240x240 px, Axial slice, Image width 240 mm, Head
FLAIR MR image.
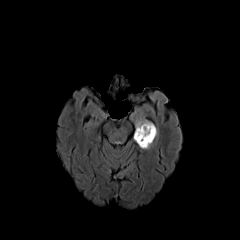
T1-weighted MR.
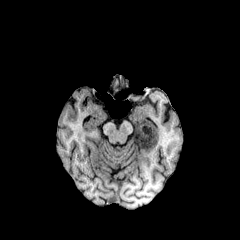
Post-contrast T1-weighted MR.
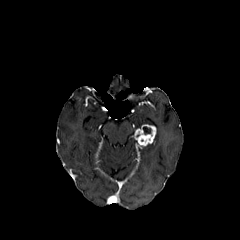
T2-weighted MRI.
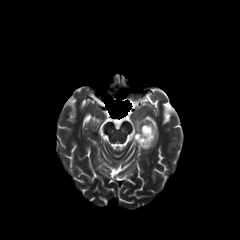
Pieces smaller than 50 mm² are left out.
enhancing_tumor:
  - bbox(134, 124, 156, 147)
peritumoral_edema:
  - bbox(135, 116, 153, 128)
necrotic_tumor_core:
  - bbox(143, 127, 151, 134)